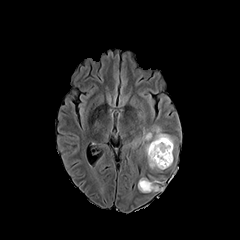
FLAIR magnetic resonance.
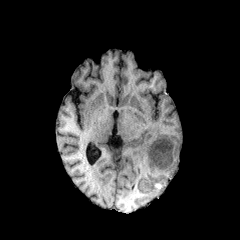
Same slice, T1-weighted MR image.
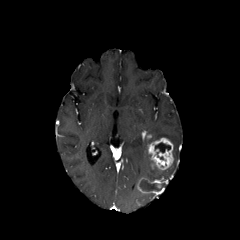
Post-contrast T1-weighted magnetic resonance.
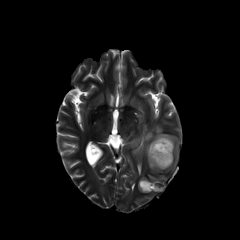
T2-weighted MR.
Axial view.
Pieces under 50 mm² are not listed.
The 2 largest enhancing tumor regions appear at l=137, t=177, r=161, b=194; l=148, t=137, r=173, b=170. The 2 largest necrotic tumor core regions appear at l=139, t=180, r=160, b=191; l=155, t=142, r=170, b=152. The 2 largest peritumoral edema regions are located at l=144, t=127, r=175, b=167; l=151, t=166, r=171, b=173.